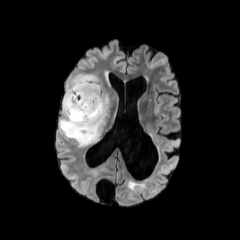
FLAIR MR image.
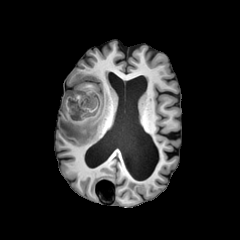
T1-weighted MR.
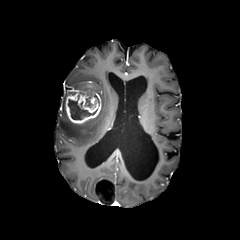
Post-contrast T1-weighted MRI.
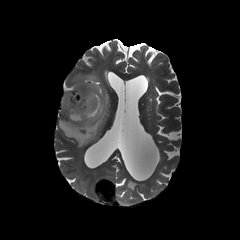
T2-weighted magnetic resonance of the same slice.
Brain.
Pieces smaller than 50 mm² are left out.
Annotated regions:
• necrotic tumor core: 68:99:97:119
• enhancing tumor: 65:88:101:123
• peritumoral edema: 59:74:108:146